FLAIR MR.
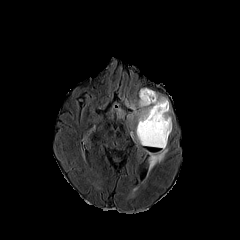
T1-weighted MR.
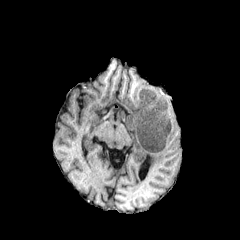
Post-contrast T1-weighted MR.
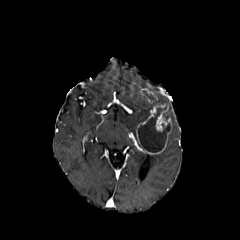
T2-weighted MRI.
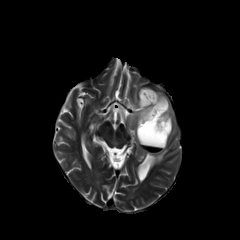
Brain. Axial view.
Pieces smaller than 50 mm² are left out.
peritumoral edema at <bbox>125, 91, 171, 125</bbox>, <bbox>149, 146, 168, 170</bbox>
enhancing tumor at <bbox>140, 88, 157, 103</bbox>, <bbox>136, 103, 171, 154</bbox>
necrotic tumor core at <bbox>138, 107, 169, 152</bbox>, <bbox>143, 91, 155, 100</bbox>